Head; Axial view
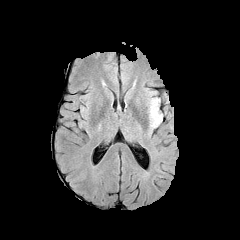
FLAIR MR.
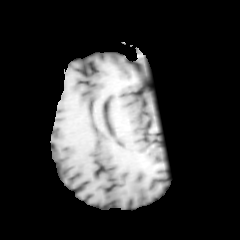
T1-weighted MR image of the same slice.
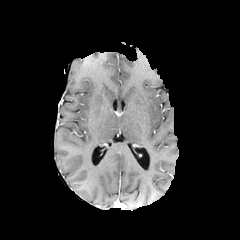
Post-contrast T1-weighted MR of the same slice.
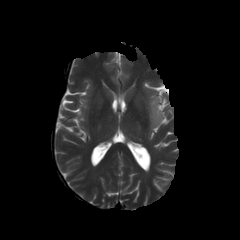
T2-weighted MRI.
peritumoral edema: bounding box (x1=149, y1=98, x2=161, y2=128)